Image width 240 mm, Brain
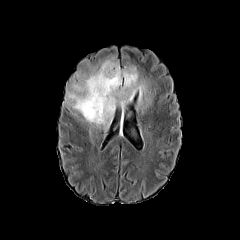
FLAIR MR image.
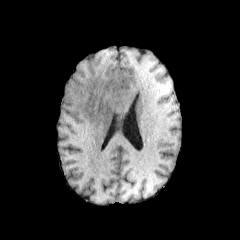
Same slice, T1-weighted magnetic resonance.
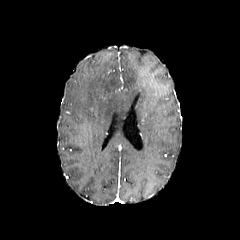
Post-contrast T1-weighted MRI.
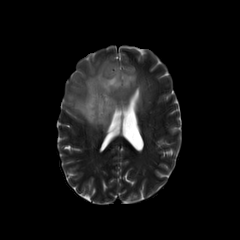
Same slice, T2-weighted MRI.
{"peritumoral_edema": ["66 60 152 127"]}